FLAIR MR.
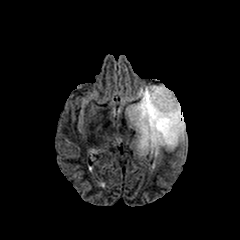
T1-weighted magnetic resonance.
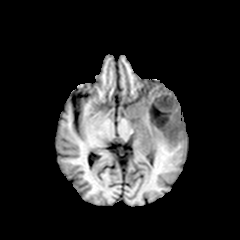
Post-contrast T1-weighted magnetic resonance.
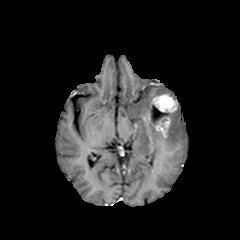
T2-weighted MRI.
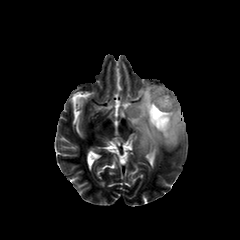
Brain. Axial view.
The necrotic tumor core is at [x1=149, y1=104, x2=167, y2=123]. The peritumoral edema lies within [x1=126, y1=85, x2=185, y2=157]. The enhancing tumor is bounded by [x1=143, y1=94, x2=177, y2=137].